240x240 px; Brain; Axial slice
FLAIR magnetic resonance.
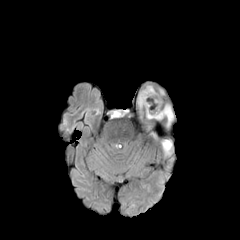
T1-weighted MR image.
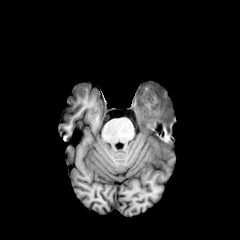
Post-contrast T1-weighted MR.
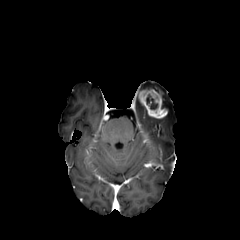
T2-weighted MR.
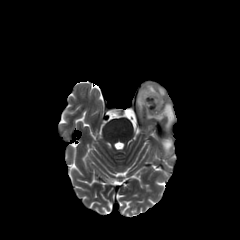
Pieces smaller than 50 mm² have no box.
necrotic tumor core = x1=146, y1=95, x2=157, y2=109
enhancing tumor = x1=138, y1=89, x2=167, y2=118
peritumoral edema = x1=165, y1=104, x2=173, y2=126; x1=162, y1=140, x2=171, y2=155